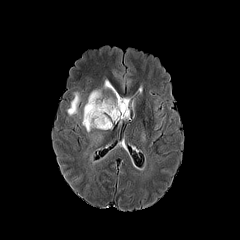
FLAIR MR image.
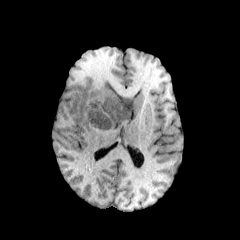
T1-weighted MR image of the same slice.
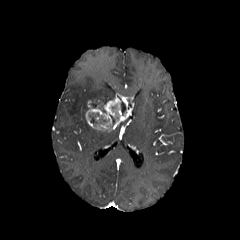
Post-contrast T1-weighted MR image of the same slice.
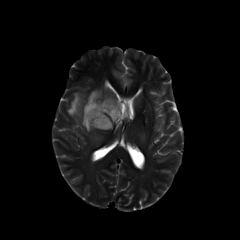
Same slice, T2-weighted MR.
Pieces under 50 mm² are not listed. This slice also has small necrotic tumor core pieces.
enhancing tumor — bbox=[85, 93, 133, 130]
peritumoral edema — bbox=[82, 103, 92, 132]; bbox=[104, 80, 116, 92]; bbox=[67, 92, 80, 115]; bbox=[88, 90, 101, 100]